Brain | Image width 240 mm
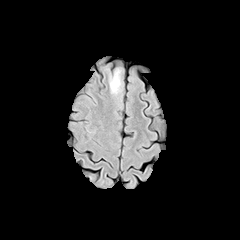
FLAIR MR image.
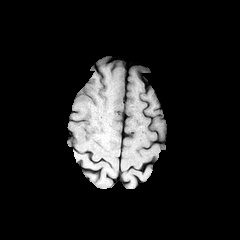
T1-weighted MR image.
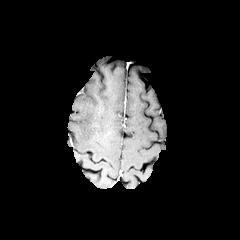
Post-contrast T1-weighted MR image.
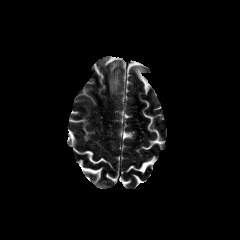
T2-weighted MR of the same slice.
peritumoral edema: bbox(109, 70, 121, 93)